FLAIR MR image.
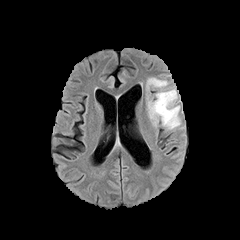
T1-weighted MR image.
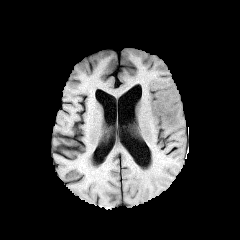
Post-contrast T1-weighted MRI.
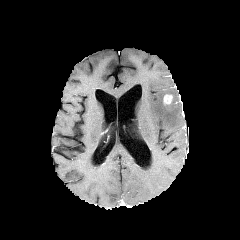
T2-weighted magnetic resonance.
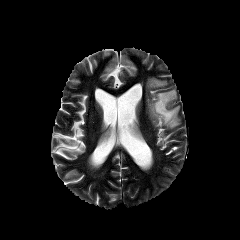
Axial view | 240x240 px | Brain
{"peritumoral_edema": ["146,77,180,129"], "enhancing_tumor": ["163,94,172,104"]}